Head
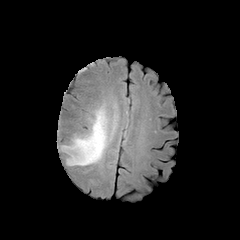
FLAIR MR image.
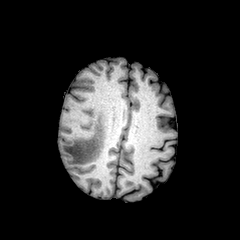
Same slice, T1-weighted MR image.
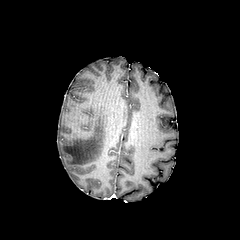
Post-contrast T1-weighted MRI.
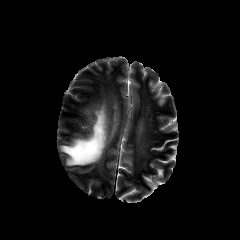
T2-weighted MRI.
peritumoral_edema:
  - 61 105 114 165